FLAIR magnetic resonance.
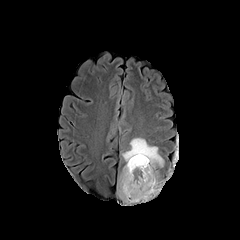
T1-weighted MRI.
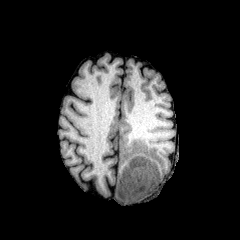
Post-contrast T1-weighted MRI.
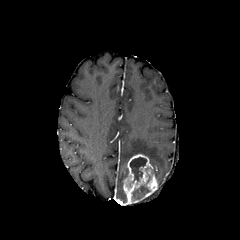
T2-weighted magnetic resonance.
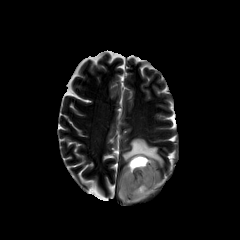
Image size 240x240.
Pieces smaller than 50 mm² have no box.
<segmentation>
  <necrotic_tumor_core>(133,186,149,199), (130,157,146,180)</necrotic_tumor_core>
  <peritumoral_edema>(122,138,164,167), (118,166,125,200)</peritumoral_edema>
  <enhancing_tumor>(122,154,158,204)</enhancing_tumor>
</segmentation>